FLAIR MR.
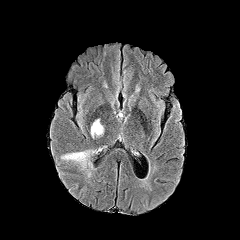
T1-weighted MR image.
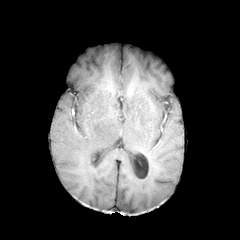
Post-contrast T1-weighted MR.
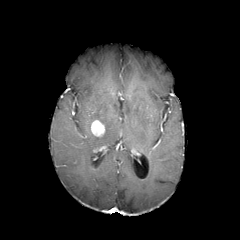
T2-weighted MR.
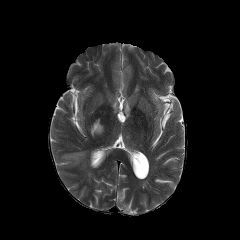
240x240
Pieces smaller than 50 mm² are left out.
{
  "enhancing_tumor": [
    "box=[91, 120, 104, 135]"
  ],
  "peritumoral_edema": [
    "box=[61, 151, 89, 166]"
  ]
}